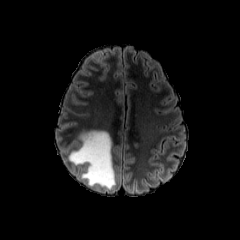
FLAIR MR.
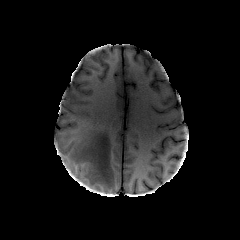
T1-weighted magnetic resonance.
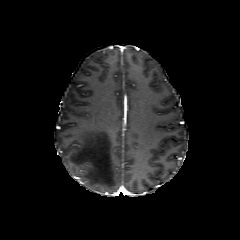
Post-contrast T1-weighted magnetic resonance.
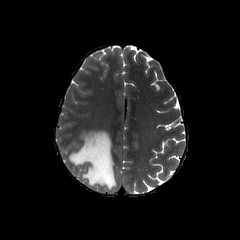
T2-weighted MR image.
Axial view
peritumoral edema: left=68, top=130, right=116, bottom=189